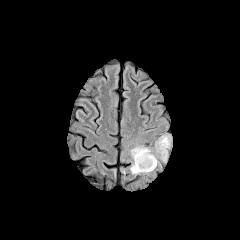
FLAIR MRI.
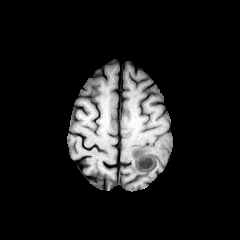
Same slice, T1-weighted magnetic resonance.
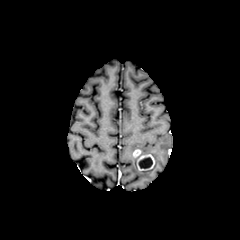
Post-contrast T1-weighted magnetic resonance.
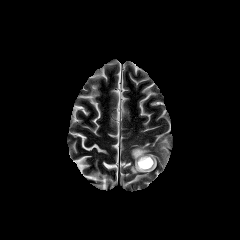
T2-weighted MRI of the same slice.
Brain.
Annotated regions:
• enhancing tumor: x1=132, y1=149, x2=155, y2=170
• peritumoral edema: x1=130, y1=145, x2=157, y2=174; x1=157, y1=135, x2=171, y2=161
• necrotic tumor core: x1=138, y1=157, x2=152, y2=168